Image size 240x240; Brain; Axial plane
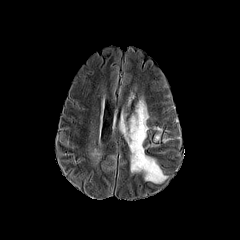
FLAIR MR.
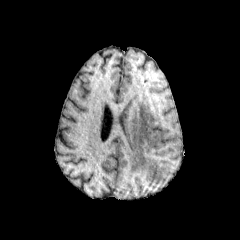
T1-weighted MR of the same slice.
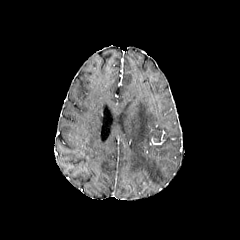
Post-contrast T1-weighted MR image.
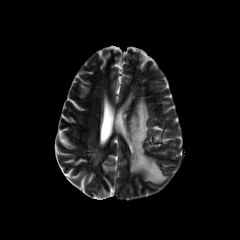
T2-weighted MRI.
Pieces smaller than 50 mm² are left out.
<segmentation>
  <peritumoral_edema>[120, 100, 166, 183]</peritumoral_edema>
</segmentation>